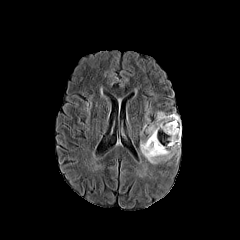
FLAIR MR image.
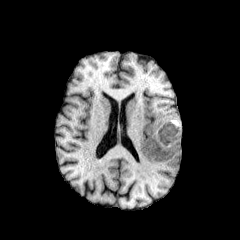
Same slice, T1-weighted MR image.
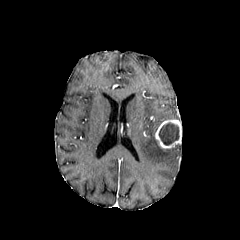
Post-contrast T1-weighted MR.
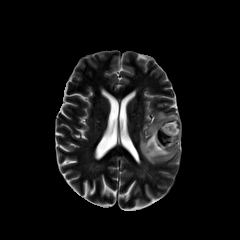
T2-weighted MRI.
Brain | 240x240
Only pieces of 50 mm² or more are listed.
The enhancing tumor lies within (155,119,181,148). The necrotic tumor core appears at (159,123,179,145). The largest peritumoral edema region is at (140,111,180,163).